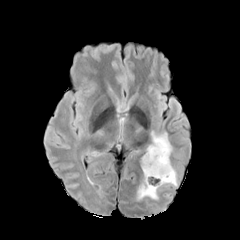
FLAIR MR.
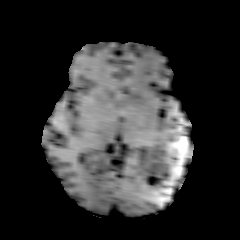
Same slice, T1-weighted MR.
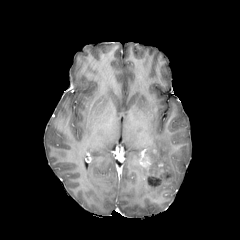
Post-contrast T1-weighted MRI.
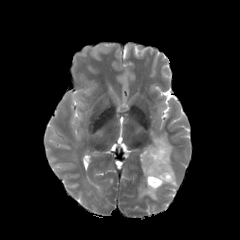
T2-weighted MR of the same slice.
Head, Axial plane
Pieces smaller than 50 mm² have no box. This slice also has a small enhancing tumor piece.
- peritumoral edema: (138, 130, 177, 198)